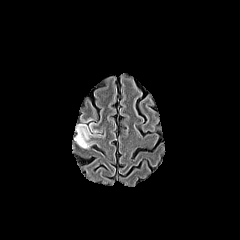
FLAIR magnetic resonance.
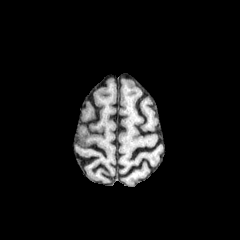
T1-weighted MRI.
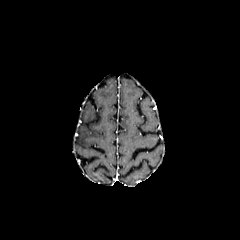
Post-contrast T1-weighted magnetic resonance.
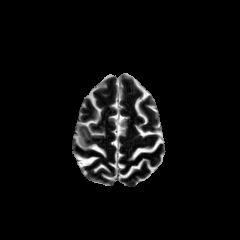
T2-weighted MR image.
Axial plane, Image size 240x240
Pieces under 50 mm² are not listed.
The largest peritumoral edema region lies within [76,124,95,148].